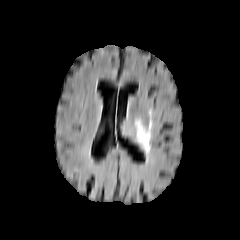
FLAIR MR image.
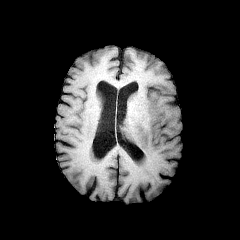
T1-weighted MR image.
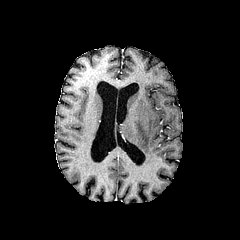
Same slice, post-contrast T1-weighted magnetic resonance.
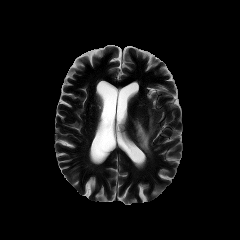
Same slice, T2-weighted MRI.
Image size 240x240
peritumoral_edema:
  - 134, 109, 153, 154